Axial view; Image covers 240 mm x 240 mm; 240x240 px; Head
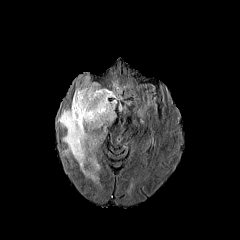
FLAIR MRI.
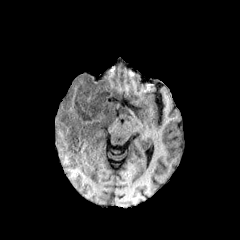
T1-weighted MR image.
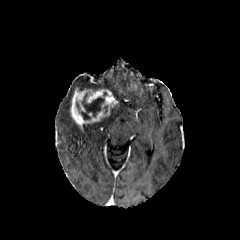
Post-contrast T1-weighted magnetic resonance.
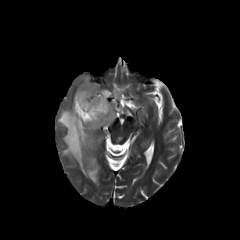
Same slice, T2-weighted MR.
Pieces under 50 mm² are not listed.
Segmented structures:
* enhancing tumor: (x1=70, y1=88, x2=117, y2=130)
* peritumoral edema: (x1=57, y1=106, x2=116, y2=182), (x1=76, y1=76, x2=105, y2=90), (x1=111, y1=81, x2=125, y2=99)
* necrotic tumor core: (x1=79, y1=93, x2=104, y2=119)